240x240, Image width 240 mm, Slice 84/155
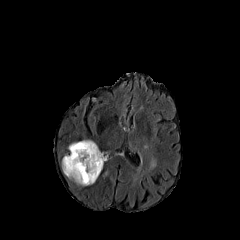
FLAIR MRI.
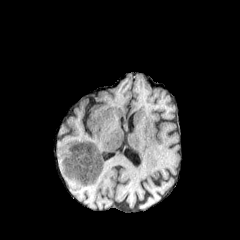
T1-weighted MR of the same slice.
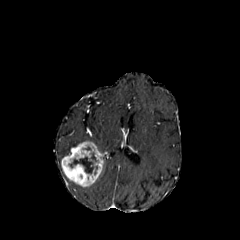
Post-contrast T1-weighted MR.
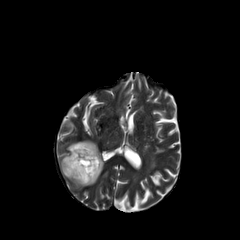
Same slice, T2-weighted MR.
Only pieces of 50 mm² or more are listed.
The largest necrotic tumor core region is at left=68, top=157, right=93, bottom=173. The enhancing tumor appears at left=61, top=141, right=104, bottom=186. The largest peritumoral edema region is bounded by left=68, top=140, right=92, bottom=150.